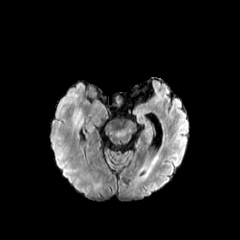
FLAIR magnetic resonance.
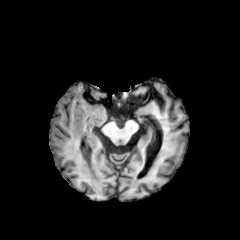
T1-weighted MRI.
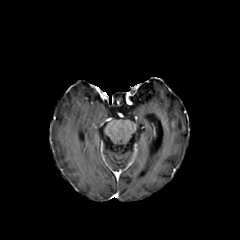
Post-contrast T1-weighted MRI.
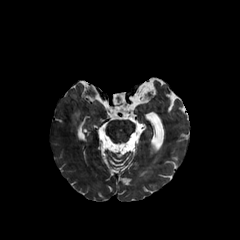
T2-weighted MRI of the same slice.
240x240. Head.
<segmentation>
  <peritumoral_edema>(73,110,83,130)</peritumoral_edema>
</segmentation>